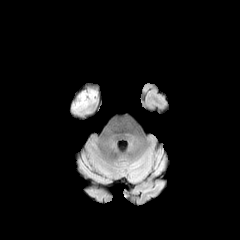
FLAIR MR.
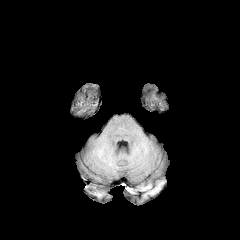
T1-weighted magnetic resonance.
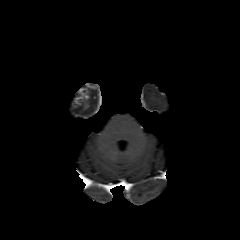
Post-contrast T1-weighted MRI.
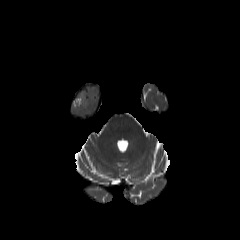
T2-weighted MR image.
Axial plane; Head
Annotated regions:
* enhancing tumor: region(77, 93, 84, 104)